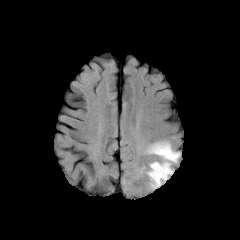
FLAIR MR.
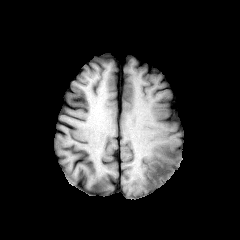
T1-weighted magnetic resonance of the same slice.
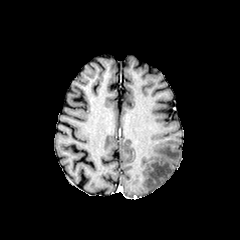
Post-contrast T1-weighted MRI.
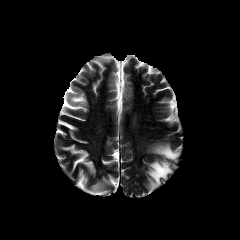
Same slice, T2-weighted MR.
Brain
peritumoral edema: region(146, 142, 180, 190)